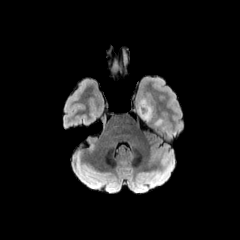
FLAIR MR image.
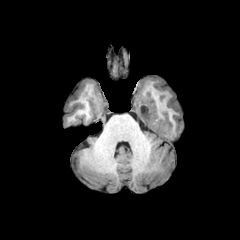
Same slice, T1-weighted MR image.
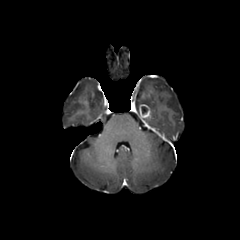
Same slice, post-contrast T1-weighted MR.
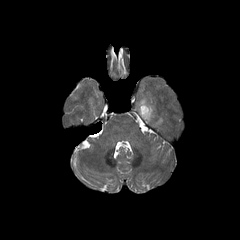
T2-weighted MR image.
Brain.
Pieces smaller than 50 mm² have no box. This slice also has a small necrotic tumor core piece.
<segmentation>
  <peritumoral_edema>[x1=154, y1=118, x2=163, y2=127], [x1=137, y1=96, x2=155, y2=123]</peritumoral_edema>
  <enhancing_tumor>[x1=139, y1=104, x2=152, y2=123]</enhancing_tumor>
</segmentation>